240x240 px.
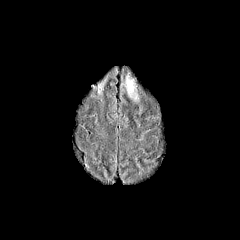
FLAIR magnetic resonance.
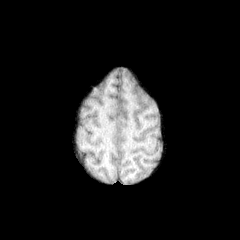
T1-weighted MR image.
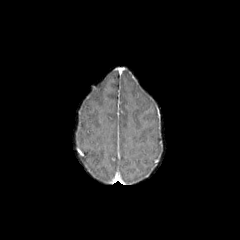
Post-contrast T1-weighted magnetic resonance of the same slice.
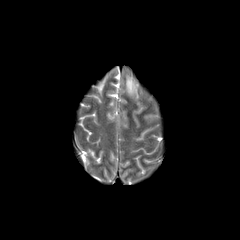
T2-weighted MRI.
Annotated regions:
- peritumoral edema: (124,72,138,100)